FLAIR MR image.
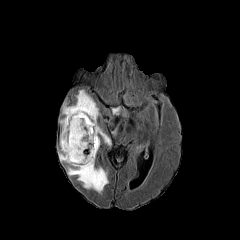
T1-weighted MR image.
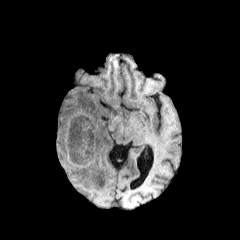
Post-contrast T1-weighted MR.
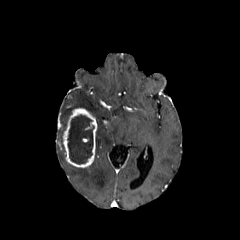
T2-weighted MR image.
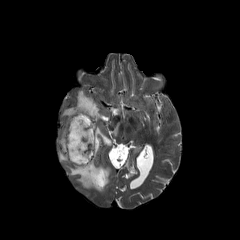
Axial plane | Image size 240x240 | Head
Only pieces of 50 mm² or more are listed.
necrotic tumor core at bbox=[67, 114, 94, 164]
enhancing tumor at bbox=[62, 108, 97, 167]
peritumoral edema at bbox=[67, 159, 108, 192]; bbox=[95, 126, 111, 156]; bbox=[59, 90, 100, 162]